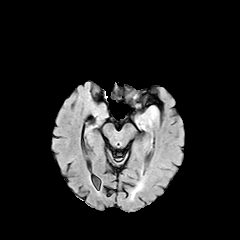
FLAIR MRI.
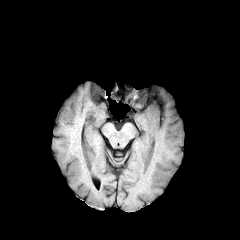
T1-weighted MR.
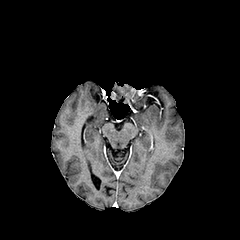
Same slice, post-contrast T1-weighted MRI.
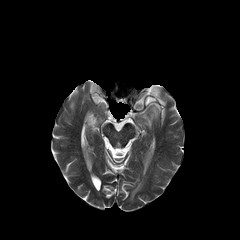
T2-weighted MRI of the same slice.
240x240, Axial view, Brain
* peritumoral edema: [x1=148, y1=107, x2=156, y2=124]